FLAIR MRI.
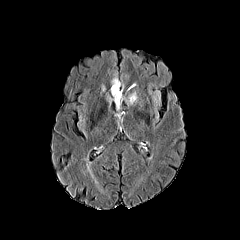
T1-weighted magnetic resonance.
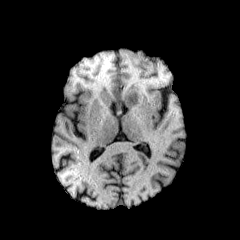
Post-contrast T1-weighted MR.
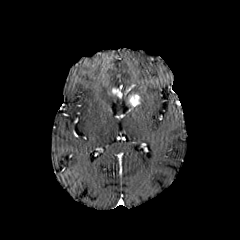
T2-weighted MRI.
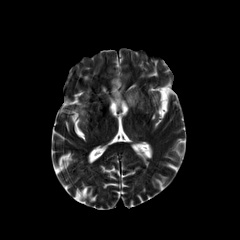
Brain; 240x240
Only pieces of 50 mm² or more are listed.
peritumoral edema: box(111, 76, 120, 89); box(114, 97, 126, 109) | enhancing tumor: box(124, 92, 140, 106); box(111, 87, 122, 98)